Slice 39 of 155, Head
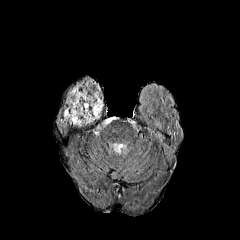
FLAIR magnetic resonance.
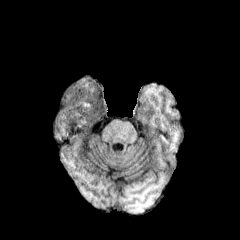
Same slice, T1-weighted MR image.
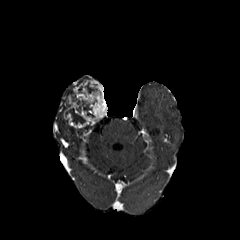
Post-contrast T1-weighted MRI.
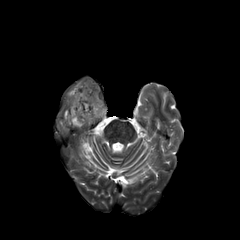
Same slice, T2-weighted MRI.
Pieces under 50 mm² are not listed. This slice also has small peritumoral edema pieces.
{"enhancing_tumor": ["box(63, 79, 106, 128)"], "necrotic_tumor_core": ["box(85, 83, 96, 93)", "box(82, 100, 94, 117)", "box(66, 108, 85, 123)"]}